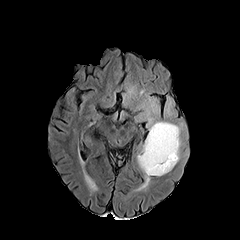
FLAIR MR image.
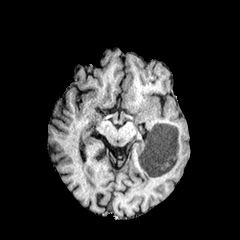
T1-weighted MR of the same slice.
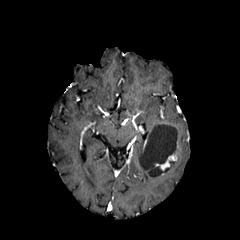
Post-contrast T1-weighted MR image.
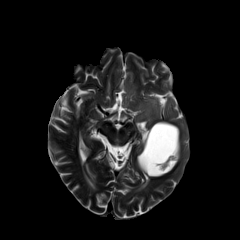
T2-weighted MRI.
Axial plane. 240x240. Brain.
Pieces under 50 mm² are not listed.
peritumoral edema = x1=144 y1=99 x2=182 y2=160, x1=137 y1=144 x2=162 y2=188
necrotic tumor core = x1=140 y1=123 x2=178 y2=175
enhancing tumor = x1=155 y1=134 x2=179 y2=170